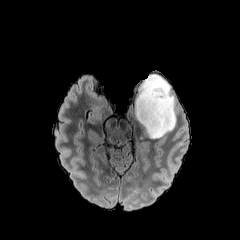
FLAIR magnetic resonance.
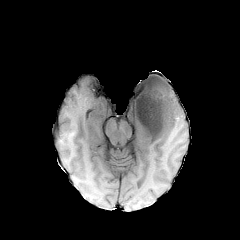
T1-weighted MR.
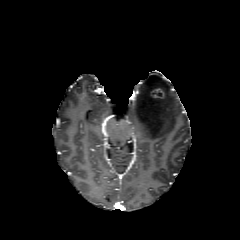
Post-contrast T1-weighted MR.
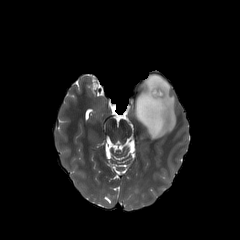
Same slice, T2-weighted MR.
Head
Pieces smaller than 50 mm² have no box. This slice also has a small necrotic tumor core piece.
enhancing tumor: bounding box [151, 89, 164, 99]
peritumoral edema: bounding box [127, 74, 176, 138]